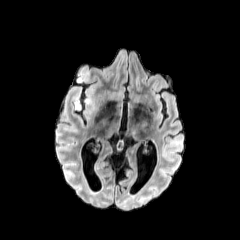
FLAIR MR image.
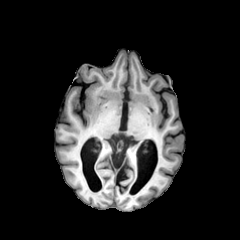
T1-weighted magnetic resonance of the same slice.
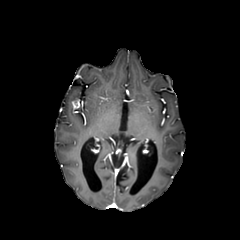
Post-contrast T1-weighted MR image of the same slice.
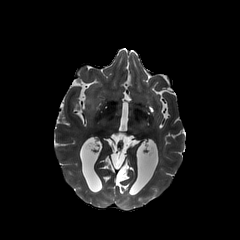
T2-weighted MRI.
240x240
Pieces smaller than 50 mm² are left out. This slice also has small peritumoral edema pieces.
{"enhancing_tumor": ["bbox=[72, 99, 80, 108]"]}